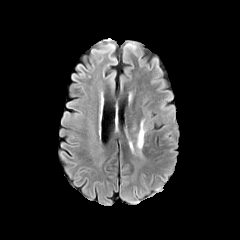
FLAIR MR.
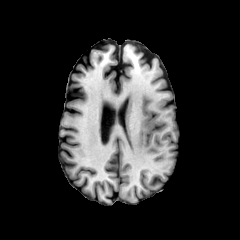
T1-weighted MR image.
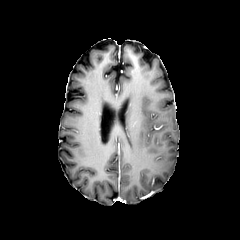
Post-contrast T1-weighted magnetic resonance.
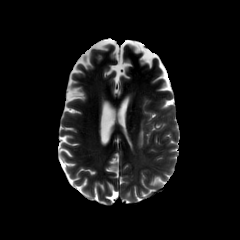
T2-weighted MR image.
Brain; 240x240
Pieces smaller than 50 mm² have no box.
The largest peritumoral edema region appears at rect(137, 119, 146, 153).